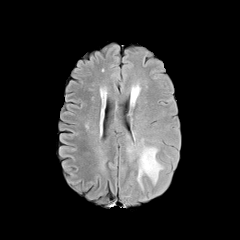
FLAIR MRI.
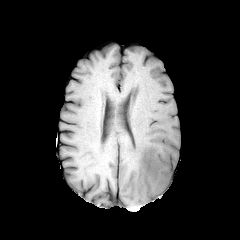
T1-weighted magnetic resonance of the same slice.
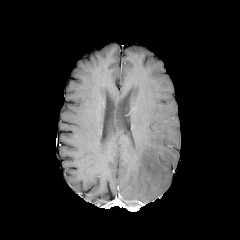
Post-contrast T1-weighted MR of the same slice.
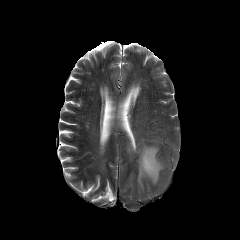
T2-weighted MRI of the same slice.
Image size 240x240 | Head
The peritumoral edema lies within (x1=127, y1=136, x2=163, y2=189).